FLAIR MRI.
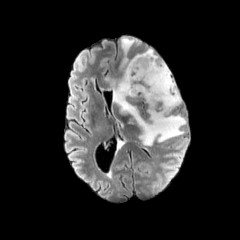
T1-weighted MRI.
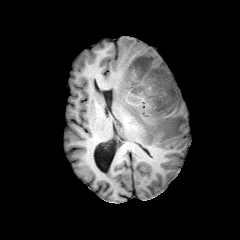
Post-contrast T1-weighted MRI.
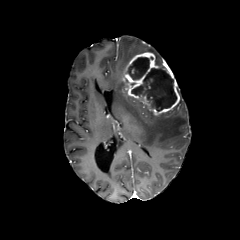
T2-weighted MR image.
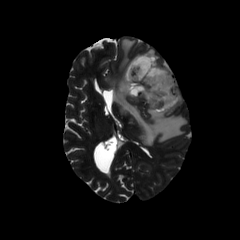
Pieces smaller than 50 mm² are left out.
- necrotic tumor core: 131 68 176 111, 127 57 149 79
- enhancing tumor: 122 52 179 115
- peritumoral edema: 104 37 186 145, 144 48 162 64